Brain; Image covers 240 mm x 240 mm; Axial slice
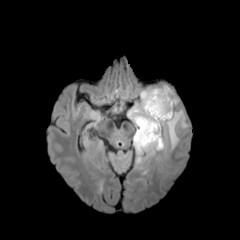
FLAIR MRI.
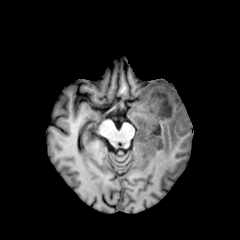
T1-weighted MRI.
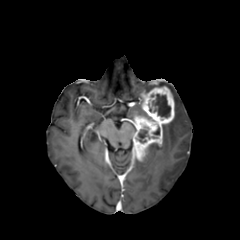
Post-contrast T1-weighted magnetic resonance.
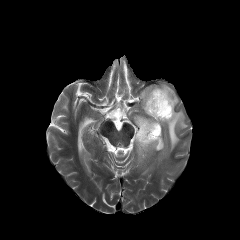
T2-weighted MR.
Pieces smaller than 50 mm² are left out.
enhancing tumor: <box>133,86,174,161</box> | necrotic tumor core: <box>152,94,170,117</box>, <box>138,130,148,142</box> | peritumoral edema: <box>136,109,187,165</box>, <box>155,84,178,105</box>, <box>128,91,150,121</box>